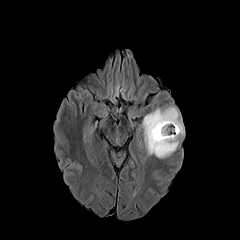
FLAIR MR image.
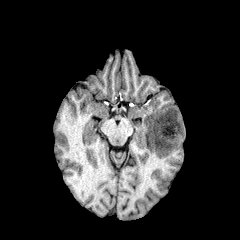
T1-weighted MR image of the same slice.
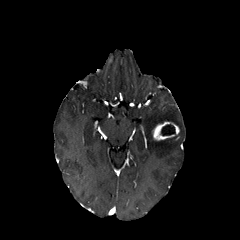
Same slice, post-contrast T1-weighted magnetic resonance.
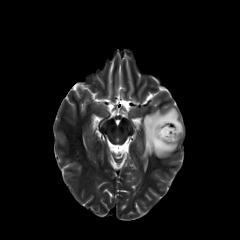
T2-weighted magnetic resonance.
Head | Axial plane
Annotated regions:
* enhancing tumor: region(153, 121, 179, 140)
* necrotic tumor core: region(161, 124, 175, 135)
* peritumoral edema: region(142, 107, 184, 158)